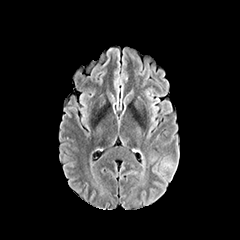
FLAIR MR image.
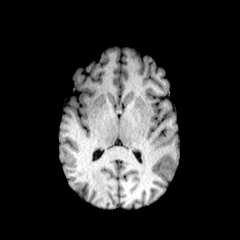
T1-weighted magnetic resonance of the same slice.
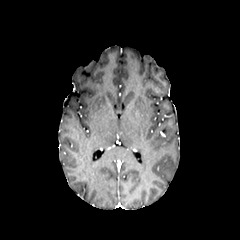
Post-contrast T1-weighted magnetic resonance.
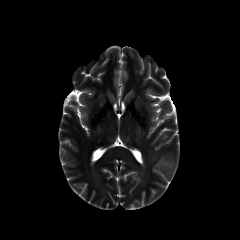
T2-weighted MR image.
Head.
peritumoral_edema:
  - region(162, 162, 172, 169)